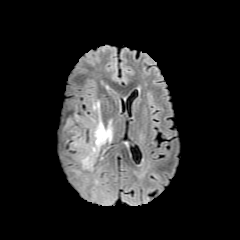
FLAIR MR.
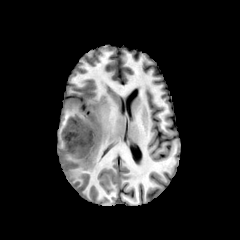
Same slice, T1-weighted MR.
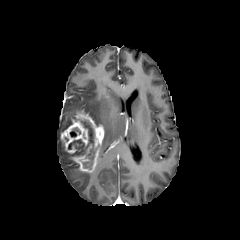
Same slice, post-contrast T1-weighted MR image.
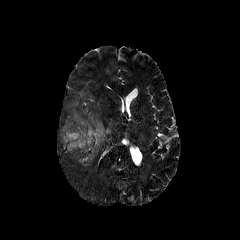
Same slice, T2-weighted MR image.
240x240
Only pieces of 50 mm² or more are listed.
{"enhancing_tumor": ["61 111 104 172"], "necrotic_tumor_core": ["68 120 94 155", "70 126 80 137", "83 148 95 169"], "peritumoral_edema": ["89 99 113 149"]}